Brain
FLAIR magnetic resonance.
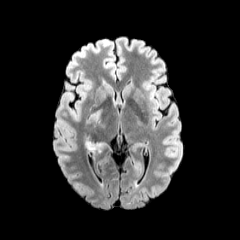
T1-weighted magnetic resonance.
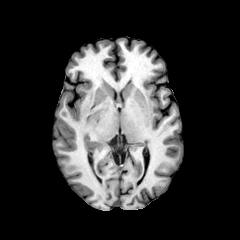
Post-contrast T1-weighted MR image.
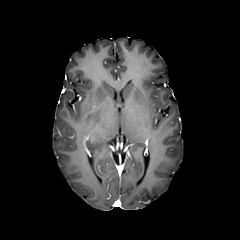
T2-weighted magnetic resonance.
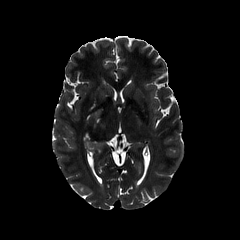
peritumoral edema — [86, 110, 100, 123], [85, 139, 105, 152]